FLAIR MR.
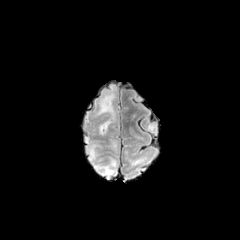
T1-weighted MR image.
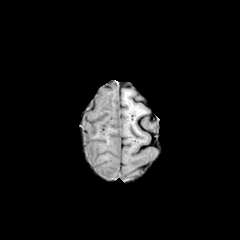
Post-contrast T1-weighted MR image.
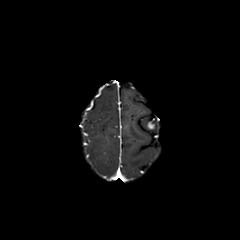
T2-weighted MR image.
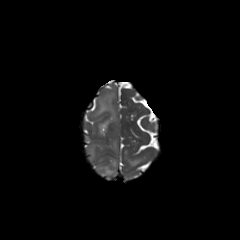
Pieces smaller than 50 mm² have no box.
The 3 largest peritumoral edema regions are located at [95,159,117,177], [96,92,115,134], [87,144,97,160].